FLAIR MR image.
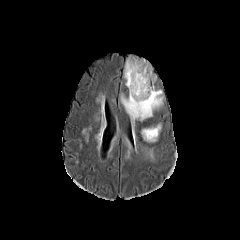
T1-weighted magnetic resonance.
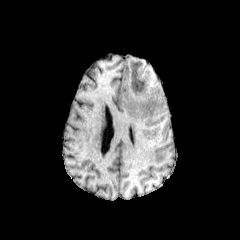
Post-contrast T1-weighted MR.
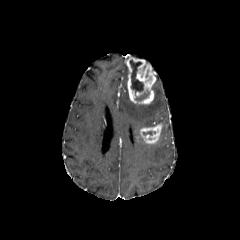
T2-weighted MR image.
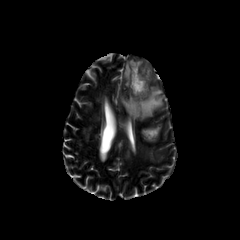
Brain
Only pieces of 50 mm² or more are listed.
- peritumoral edema: bbox(123, 65, 127, 86); bbox(139, 145, 155, 159); bbox(120, 85, 163, 121)
- necrotic tumor core: bbox(129, 60, 143, 95); bbox(135, 90, 149, 100)
- enhancing tumor: bbox(126, 55, 156, 104); bbox(140, 124, 162, 143)